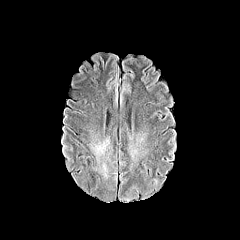
FLAIR magnetic resonance.
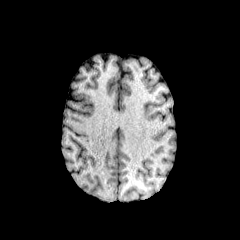
Same slice, T1-weighted MR.
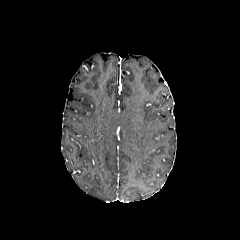
Post-contrast T1-weighted MRI of the same slice.
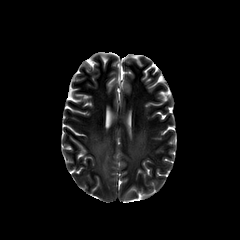
Same slice, T2-weighted MR image.
Brain | Axial slice
peritumoral edema — box(127, 132, 148, 175); box(88, 137, 109, 178)